Slice 110 of 155; Axial view
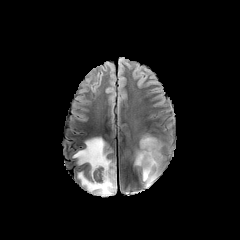
FLAIR magnetic resonance.
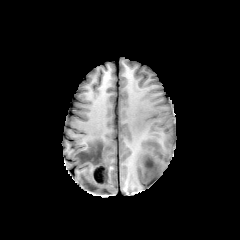
T1-weighted magnetic resonance.
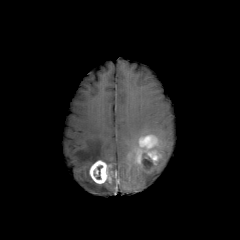
Post-contrast T1-weighted MR image.
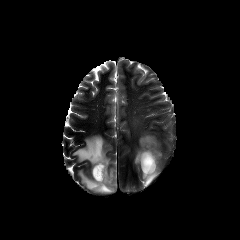
T2-weighted MRI of the same slice.
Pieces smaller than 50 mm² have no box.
2 enhancing tumor regions appear at bbox(136, 135, 160, 172); bbox(89, 160, 111, 183). The largest necrotic tumor core region lies within bbox(142, 154, 153, 169). The 2 largest peritumoral edema regions appear at bbox(73, 137, 116, 195); bbox(141, 141, 162, 187).